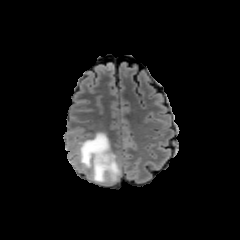
FLAIR MRI.
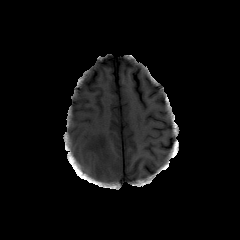
T1-weighted MRI.
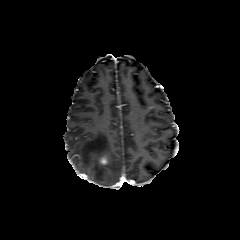
Post-contrast T1-weighted MR.
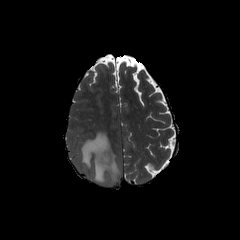
T2-weighted MRI of the same slice.
Brain.
The enhancing tumor is at [99, 155, 108, 164]. The peritumoral edema is at [79, 132, 120, 184].